240x240, Head, Axial plane
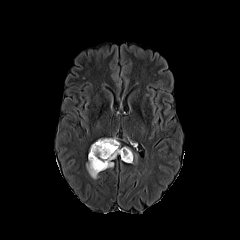
FLAIR magnetic resonance.
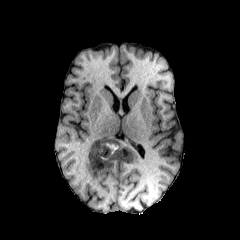
T1-weighted MRI.
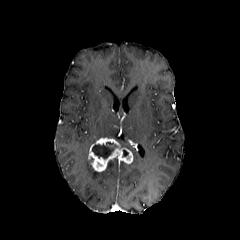
Post-contrast T1-weighted MR image.
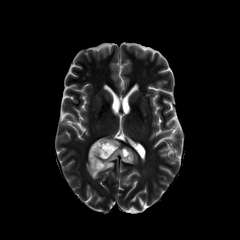
T2-weighted MR image.
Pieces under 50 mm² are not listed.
<segmentation>
  <peritumoral_edema>86, 160, 99, 179</peritumoral_edema>
  <enhancing_tumor>88, 138, 133, 171</enhancing_tumor>
  <necrotic_tumor_core>92, 142, 117, 158</necrotic_tumor_core>
</segmentation>